FLAIR magnetic resonance.
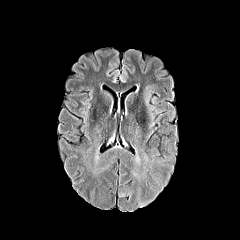
T1-weighted MR image.
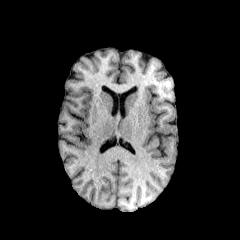
Post-contrast T1-weighted MR.
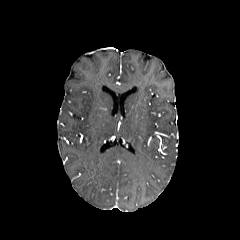
T2-weighted MR.
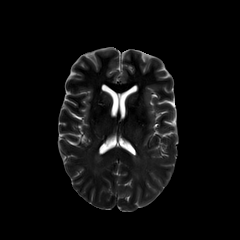
Head | Axial slice
<segmentation>
  <peritumoral_edema>rect(93, 149, 147, 175)</peritumoral_edema>
</segmentation>